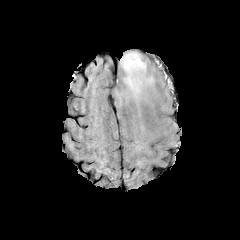
FLAIR MR image.
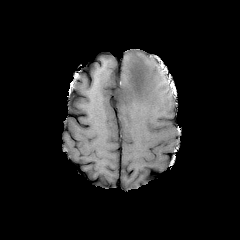
Same slice, T1-weighted MR.
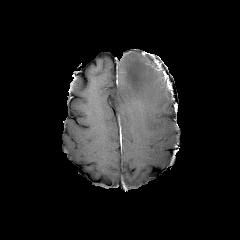
Post-contrast T1-weighted MRI of the same slice.
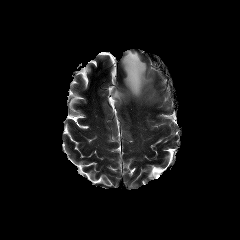
T2-weighted MRI.
Axial view
The peritumoral edema is at left=115, top=52, right=153, bottom=102.